FLAIR MRI.
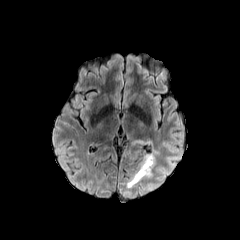
T1-weighted MR image.
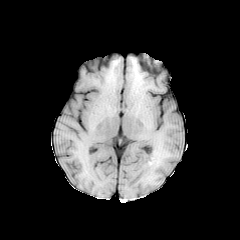
Post-contrast T1-weighted MR.
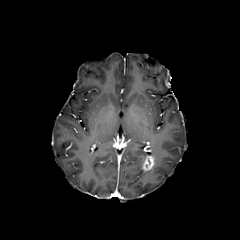
T2-weighted MR image.
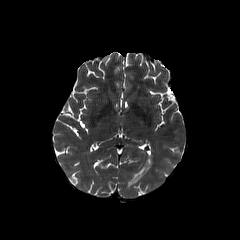
Axial plane
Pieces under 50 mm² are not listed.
Findings:
- peritumoral edema: left=127, top=159, right=152, bottom=188
- enhancing tumor: left=141, top=155, right=154, bottom=171